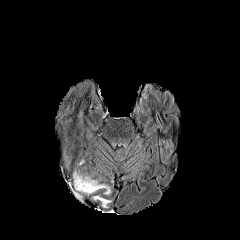
FLAIR MR image.
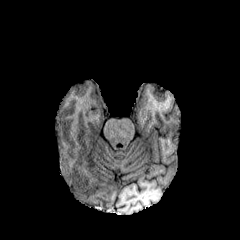
T1-weighted magnetic resonance.
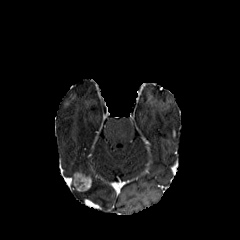
Post-contrast T1-weighted MRI.
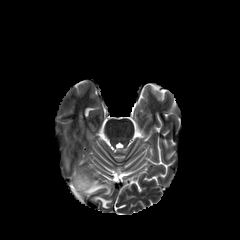
T2-weighted magnetic resonance of the same slice.
Axial slice. 240x240. Head.
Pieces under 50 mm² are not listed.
The largest enhancing tumor region lies within 74,171,91,191. The 2 largest peritumoral edema regions appear at 82,180,110,194; 93,196,111,207.